FLAIR MRI.
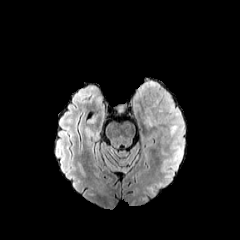
T1-weighted MRI.
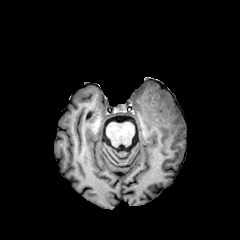
Post-contrast T1-weighted magnetic resonance.
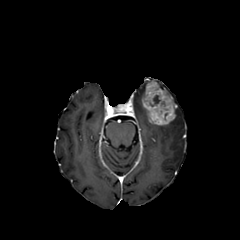
T2-weighted MRI.
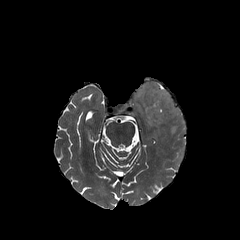
Head.
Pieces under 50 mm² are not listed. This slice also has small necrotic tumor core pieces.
The enhancing tumor lies within (141,80,176,125). The 2 largest peritumoral edema regions are located at (135,83,146,105), (166,108,183,139).